FLAIR MRI.
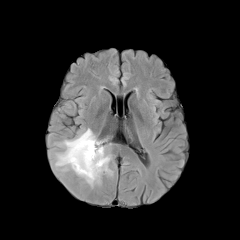
T1-weighted MR image.
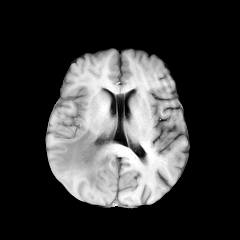
Post-contrast T1-weighted magnetic resonance.
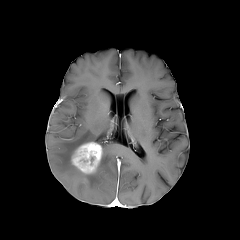
T2-weighted MR image.
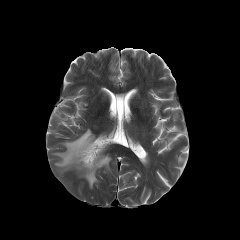
Image size 240x240; Brain
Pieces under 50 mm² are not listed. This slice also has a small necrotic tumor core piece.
enhancing_tumor:
  - x1=70 y1=141 x2=102 y2=173
peritumoral_edema:
  - x1=55 y1=128 x2=111 y2=186